FLAIR MR image.
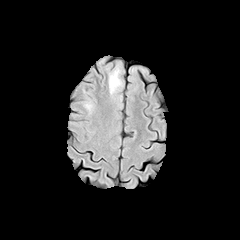
T1-weighted magnetic resonance.
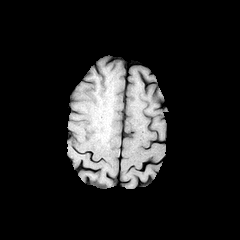
Post-contrast T1-weighted magnetic resonance.
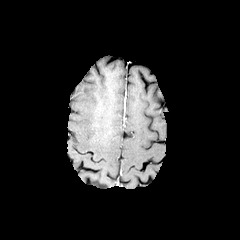
T2-weighted MR image.
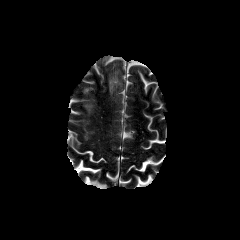
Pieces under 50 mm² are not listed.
The largest peritumoral edema region is bounded by 109,69,121,93.